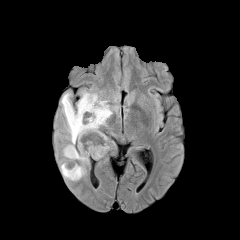
FLAIR MR.
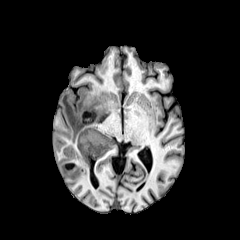
Same slice, T1-weighted magnetic resonance.
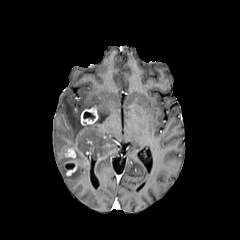
Post-contrast T1-weighted MRI.
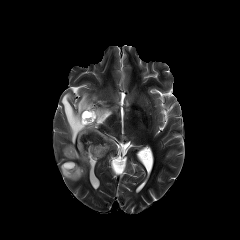
T2-weighted magnetic resonance.
240x240. Head.
peritumoral edema — l=60, t=90, r=117, b=180
enhancing tumor — l=65, t=161, r=76, b=175; l=80, t=107, r=98, b=125; l=65, t=148, r=75, b=157
necrotic tumor core — l=83, t=112, r=95, b=119; l=64, t=163, r=74, b=172